FLAIR magnetic resonance.
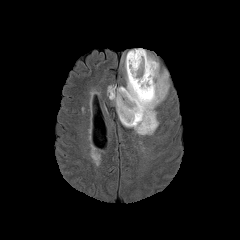
T1-weighted MRI.
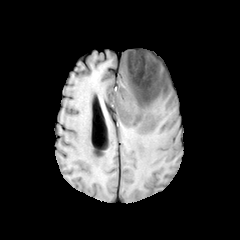
Post-contrast T1-weighted MRI.
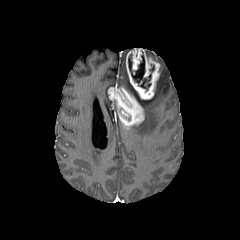
T2-weighted MRI.
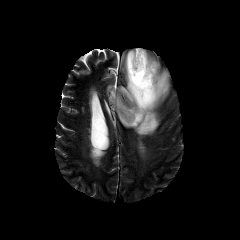
Head; Axial view; 240x240
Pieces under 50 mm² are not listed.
necrotic tumor core — x1=128 y1=53 x2=151 y2=90
peritumoral edema — x1=122 y1=54 x2=134 y2=93, x1=129 y1=70 x2=169 y2=135
enhancing tumor — x1=108 y1=48 x2=159 y2=127